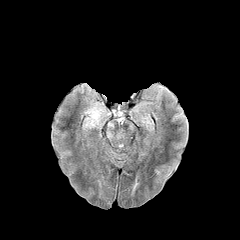
FLAIR magnetic resonance.
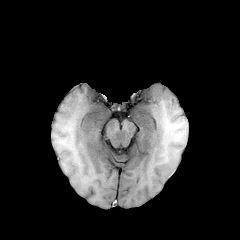
T1-weighted MR of the same slice.
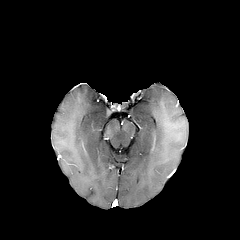
Same slice, post-contrast T1-weighted MR image.
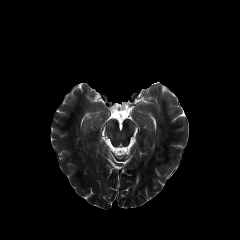
T2-weighted MR of the same slice.
Axial slice
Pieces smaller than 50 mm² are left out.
The largest peritumoral edema region appears at rect(86, 107, 103, 127).